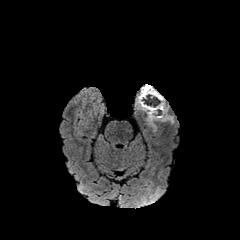
FLAIR MR image.
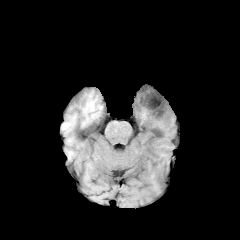
T1-weighted MRI of the same slice.
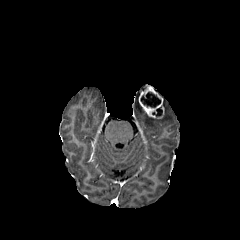
Post-contrast T1-weighted MR.
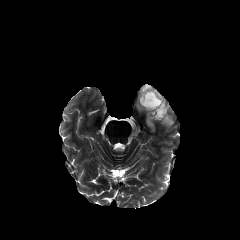
T2-weighted MRI of the same slice.
enhancing tumor: (138,84,164,118) | necrotic tumor core: (143,94,160,107), (152,107,162,116) | peritumoral edema: (135,95,143,111), (146,98,174,131)